Head
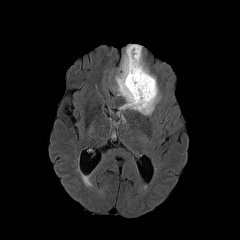
FLAIR MRI.
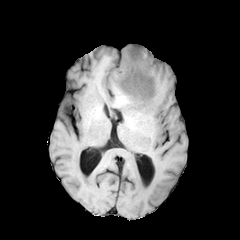
T1-weighted magnetic resonance.
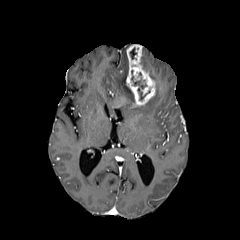
Post-contrast T1-weighted MR.
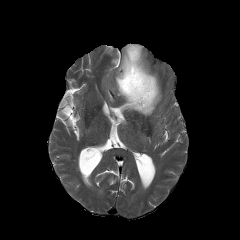
T2-weighted magnetic resonance.
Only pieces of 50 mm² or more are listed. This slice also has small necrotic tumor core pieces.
peritumoral edema: bounding box (left=115, top=50, right=161, bottom=115)
enhancing tumor: bounding box (left=126, top=44, right=155, bottom=107)